Axial slice | Head | Slice 40 of 155
FLAIR MR.
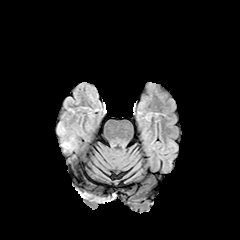
T1-weighted MR image.
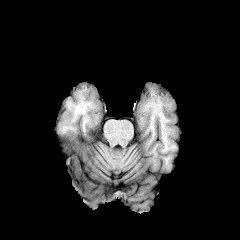
Post-contrast T1-weighted MR.
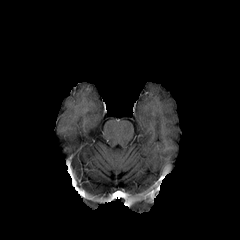
T2-weighted MR.
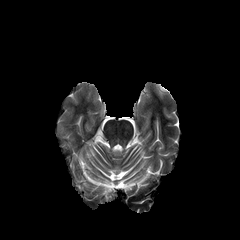
peritumoral edema = 61:141:71:148